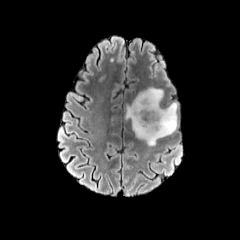
FLAIR MR image.
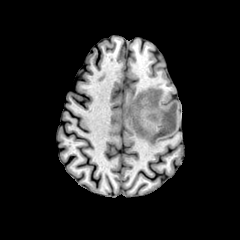
T1-weighted MRI.
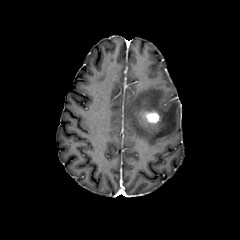
Same slice, post-contrast T1-weighted MR.
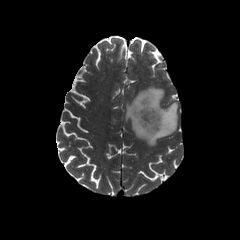
T2-weighted MR image.
Brain.
enhancing tumor — 139, 110, 160, 124
peritumoral edema — 125, 86, 177, 146